Brain. Slice index 85. Axial slice.
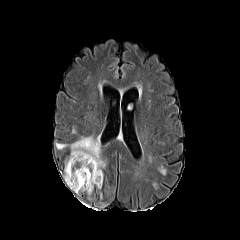
FLAIR MRI.
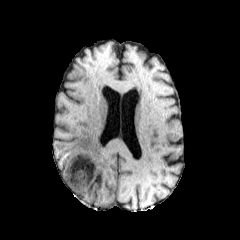
Same slice, T1-weighted magnetic resonance.
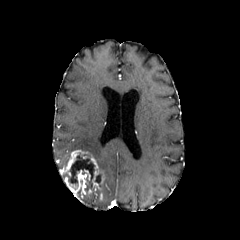
Post-contrast T1-weighted magnetic resonance of the same slice.
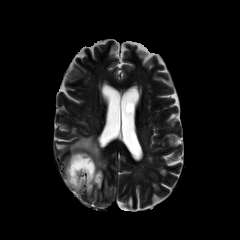
T2-weighted magnetic resonance of the same slice.
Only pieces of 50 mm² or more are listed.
2 enhancing tumor regions are located at box=[64, 169, 90, 192]; box=[61, 150, 104, 194]. The largest necrotic tumor core region is at box=[65, 155, 94, 188]. The largest peritumoral edema region appears at box=[56, 136, 106, 170].